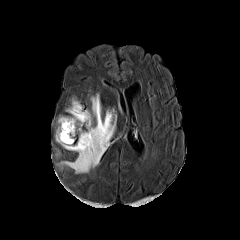
FLAIR MR image.
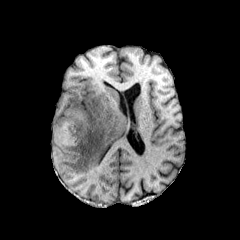
Same slice, T1-weighted magnetic resonance.
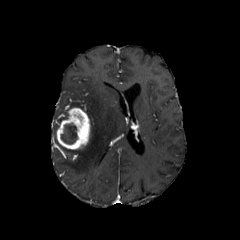
Post-contrast T1-weighted magnetic resonance.
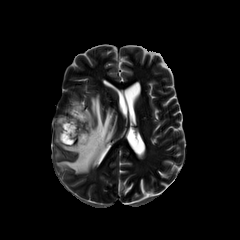
T2-weighted MRI.
Axial plane
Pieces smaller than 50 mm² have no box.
Segmented structures:
- necrotic tumor core: {"x1": 61, "y1": 124, "x2": 77, "y2": 144}
- peritumoral edema: {"x1": 85, "y1": 110, "x2": 93, "y2": 123}, {"x1": 57, "y1": 94, "x2": 116, "y2": 173}, {"x1": 71, "y1": 98, "x2": 82, "y2": 109}
- enhancing tumor: {"x1": 56, "y1": 107, "x2": 90, "y2": 149}